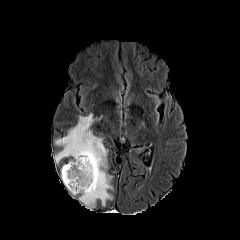
FLAIR MR.
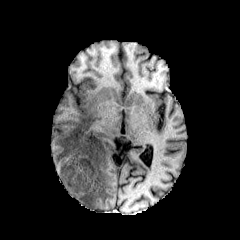
T1-weighted MRI of the same slice.
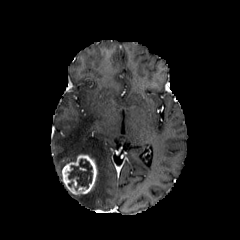
Post-contrast T1-weighted MR.
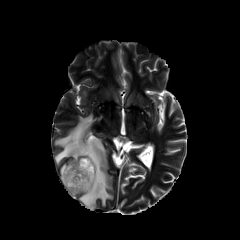
T2-weighted magnetic resonance of the same slice.
Image size 240x240; Brain
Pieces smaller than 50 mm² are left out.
enhancing tumor: bounding box region(62, 154, 97, 194)
necrotic tumor core: bounding box region(68, 159, 92, 190)
peritumoral edema: bounding box region(54, 113, 113, 210)